FLAIR MR image.
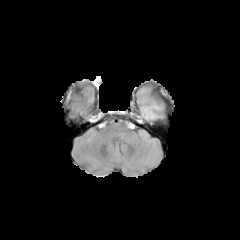
T1-weighted magnetic resonance.
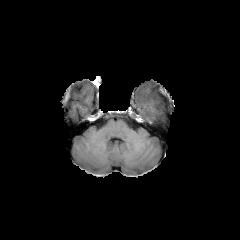
Post-contrast T1-weighted MR image.
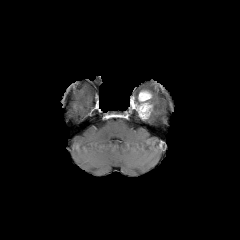
T2-weighted magnetic resonance.
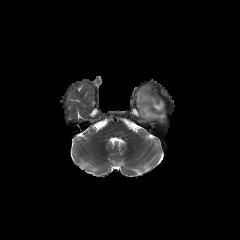
Brain
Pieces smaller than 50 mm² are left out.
peritumoral_edema:
  - {"x1": 147, "y1": 96, "x2": 163, "y2": 120}
enhancing_tumor:
  - {"x1": 133, "y1": 90, "x2": 152, "y2": 119}